FLAIR MR image.
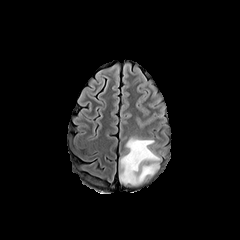
T1-weighted MRI.
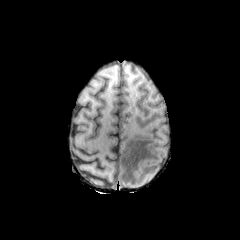
Post-contrast T1-weighted MR image.
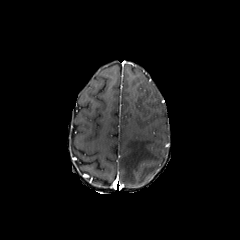
T2-weighted magnetic resonance.
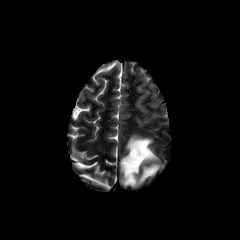
Axial slice. Brain.
peritumoral_edema:
  - box(120, 136, 161, 185)